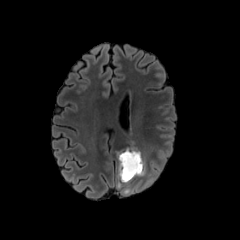
FLAIR MR.
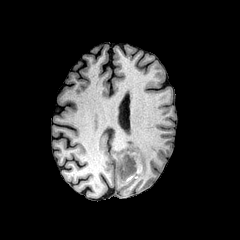
T1-weighted MRI.
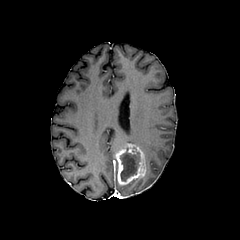
Post-contrast T1-weighted MRI of the same slice.
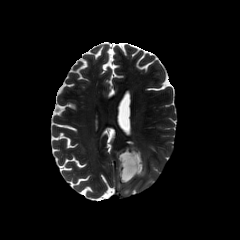
T2-weighted MRI.
Brain | Axial slice
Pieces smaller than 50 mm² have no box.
enhancing_tumor:
  - [115, 145, 146, 185]
peritumoral_edema:
  - [122, 187, 131, 194]
necrotic_tumor_core:
  - [120, 152, 139, 181]